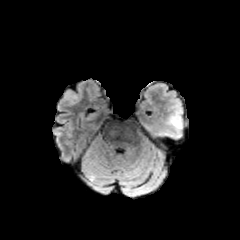
FLAIR magnetic resonance.
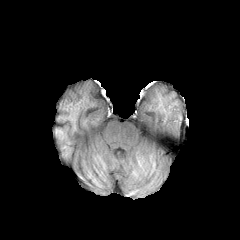
T1-weighted magnetic resonance.
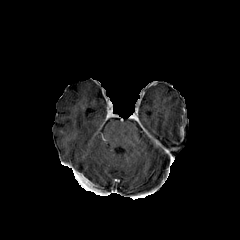
Post-contrast T1-weighted MRI.
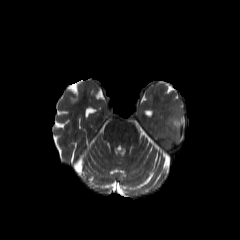
Same slice, T2-weighted MRI.
Axial view
Findings:
* peritumoral edema: x1=167, y1=114, x2=180, y2=134